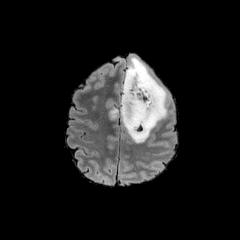
FLAIR MRI.
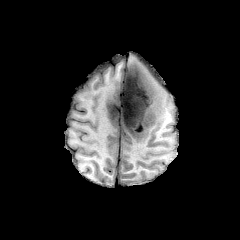
T1-weighted MR image.
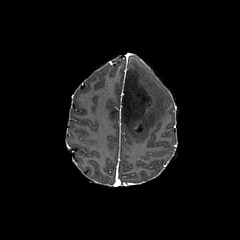
Post-contrast T1-weighted MR image of the same slice.
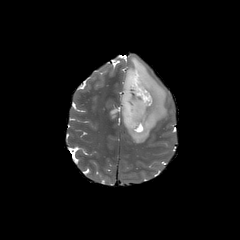
T2-weighted magnetic resonance of the same slice.
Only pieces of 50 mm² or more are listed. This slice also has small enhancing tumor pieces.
<segmentation>
  <peritumoral_edema>(129, 57, 167, 142)</peritumoral_edema>
  <necrotic_tumor_core>(110, 67, 153, 135)</necrotic_tumor_core>
</segmentation>